FLAIR magnetic resonance.
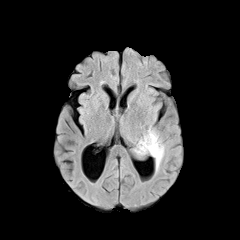
T1-weighted magnetic resonance.
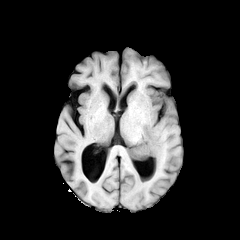
Post-contrast T1-weighted MRI.
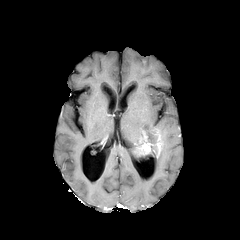
T2-weighted MRI.
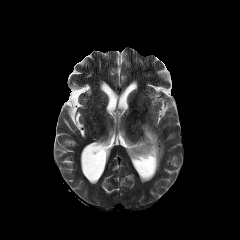
Brain. Axial plane. Image size 240x240.
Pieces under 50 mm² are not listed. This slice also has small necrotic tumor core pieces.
The largest enhancing tumor region appears at rect(135, 133, 161, 156). The 2 largest peritumoral edema regions are located at rect(143, 126, 158, 142); rect(156, 143, 164, 171).